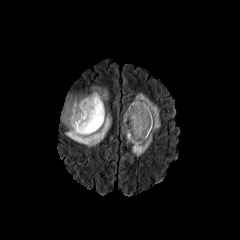
FLAIR MR image.
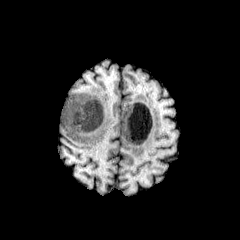
T1-weighted magnetic resonance of the same slice.
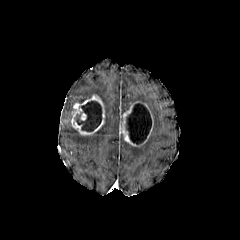
Post-contrast T1-weighted MR image.
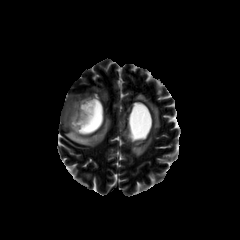
T2-weighted MR image.
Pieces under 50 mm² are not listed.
Findings:
- enhancing tumor: x1=120, y1=101, x2=153, y2=146; x1=63, y1=94, x2=104, y2=135
- peritumoral edema: x1=65, y1=111, x2=111, y2=146; x1=131, y1=93, x2=160, y2=156; x1=63, y1=102, x2=73, y2=119; x1=74, y1=87, x2=107, y2=102
- necrotic tumor core: x1=126, y1=103, x2=151, y2=144; x1=76, y1=101, x2=101, y2=131